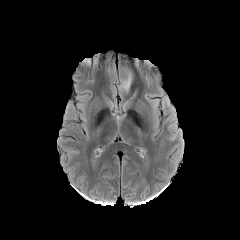
FLAIR MRI.
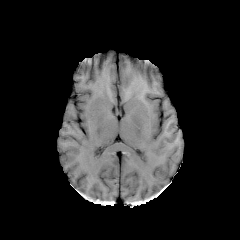
Same slice, T1-weighted MR image.
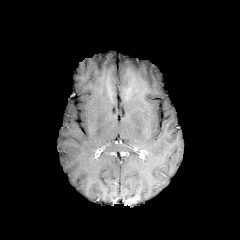
Post-contrast T1-weighted magnetic resonance.
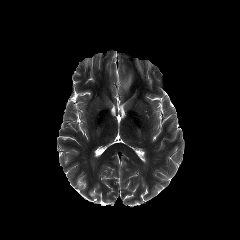
T2-weighted MR image.
Image size 240x240. Head.
peritumoral_edema:
  - bbox=[118, 73, 132, 90]